Head, Slice index 45, Image width 240 mm, 1.00 mm slice spacing
FLAIR magnetic resonance.
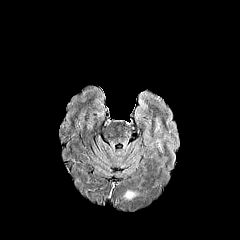
T1-weighted magnetic resonance.
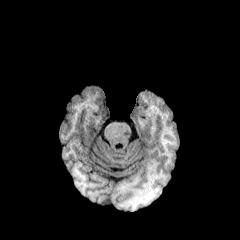
Post-contrast T1-weighted MRI.
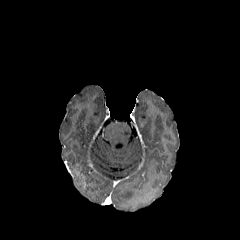
T2-weighted MR image.
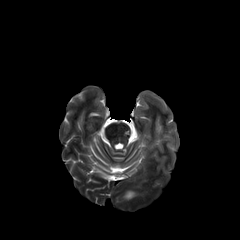
peritumoral_edema:
  - [x1=124, y1=190, x2=136, y2=199]